Head. Axial plane.
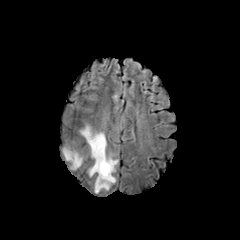
FLAIR MR image.
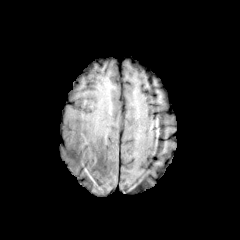
T1-weighted MR.
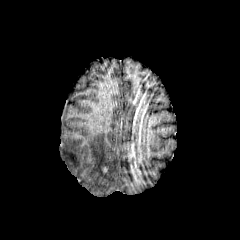
Post-contrast T1-weighted MR image.
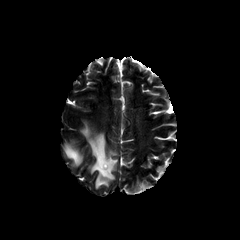
T2-weighted MRI.
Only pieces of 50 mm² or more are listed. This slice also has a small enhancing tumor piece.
Segmented structures:
* peritumoral edema: x1=80, y1=124, x2=117, y2=192; x1=63, y1=145, x2=82, y2=169